Slice index 78, Axial view
FLAIR MR.
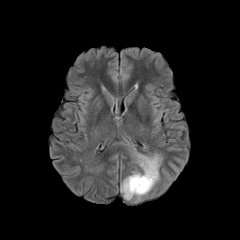
T1-weighted MRI.
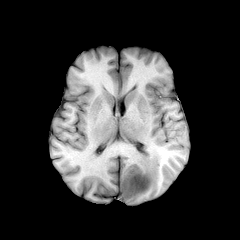
Post-contrast T1-weighted MRI.
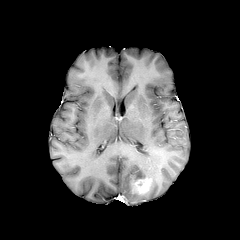
T2-weighted magnetic resonance.
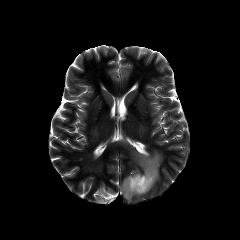
{
  "enhancing_tumor": [
    "[131, 177, 152, 193]"
  ],
  "peritumoral_edema": [
    "[121, 153, 161, 200]"
  ]
}